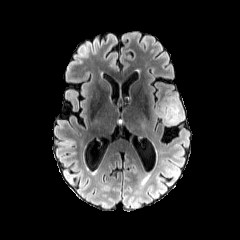
FLAIR MR.
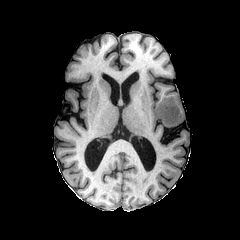
Same slice, T1-weighted MRI.
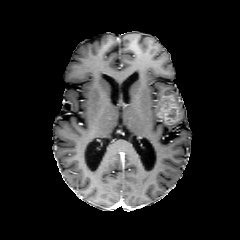
Post-contrast T1-weighted MR of the same slice.
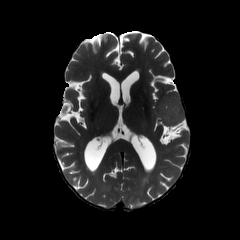
T2-weighted MR image of the same slice.
Axial slice | Image size 240x240
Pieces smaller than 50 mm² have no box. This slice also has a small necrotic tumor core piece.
- enhancing tumor: bbox=[156, 95, 181, 124]
- peritumoral edema: bbox=[173, 95, 184, 124]